FLAIR MR image.
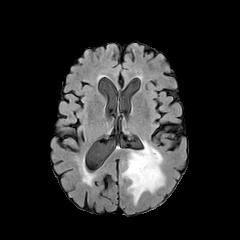
T1-weighted MR.
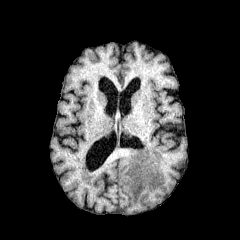
Post-contrast T1-weighted magnetic resonance.
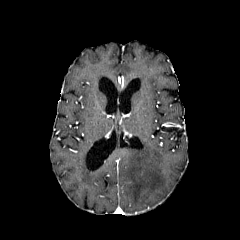
T2-weighted magnetic resonance.
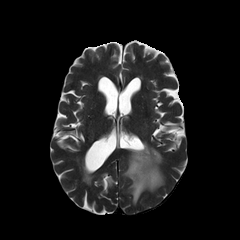
Axial view; Brain
peritumoral edema: box=[122, 141, 164, 204]